Image size 240x240, Axial slice
FLAIR magnetic resonance.
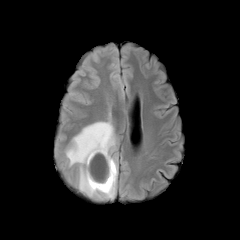
T1-weighted MRI.
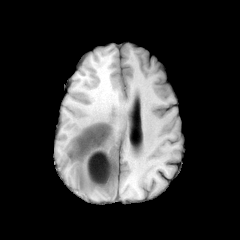
Post-contrast T1-weighted MRI.
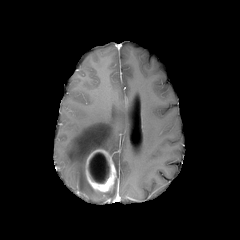
T2-weighted MRI.
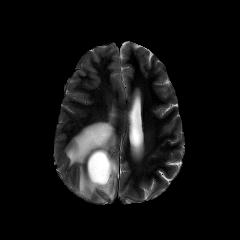
{
  "necrotic_tumor_core": [
    "88,152,109,183"
  ],
  "enhancing_tumor": [
    "86,149,116,191"
  ],
  "peritumoral_edema": [
    "66,121,116,199",
    "112,156,117,175"
  ]
}